Axial plane. Image size 240x240. Image width 240 mm, 1.00 mm slice spacing.
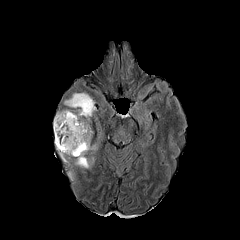
FLAIR MR.
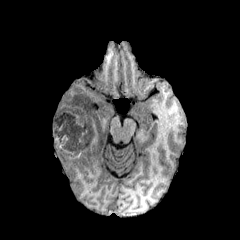
T1-weighted MR.
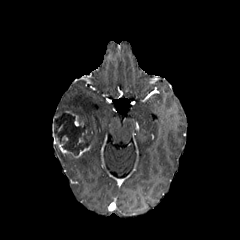
Post-contrast T1-weighted MRI of the same slice.
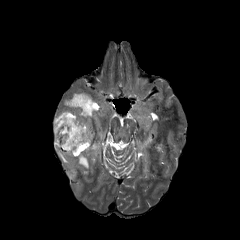
T2-weighted MR of the same slice.
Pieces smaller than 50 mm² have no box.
The 4 largest peritumoral edema regions appear at [59, 152, 69, 165], [54, 110, 71, 130], [75, 153, 89, 168], [64, 93, 94, 143]. The 3 largest enhancing tumor regions are bounded by [76, 145, 90, 157], [58, 143, 73, 154], [66, 111, 83, 126]. The largest necrotic tumor core region is at [54, 113, 90, 155].